FLAIR magnetic resonance.
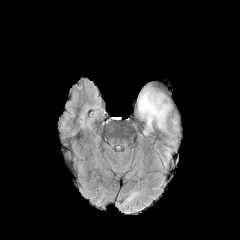
T1-weighted MR image.
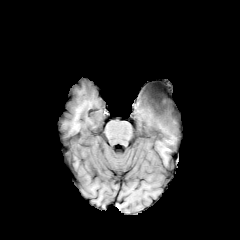
Post-contrast T1-weighted MR image.
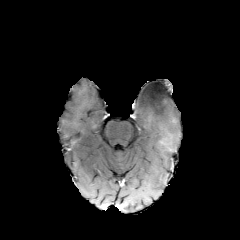
T2-weighted MR image.
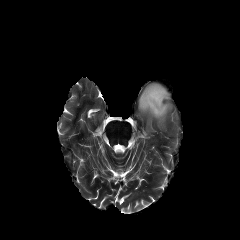
Axial slice
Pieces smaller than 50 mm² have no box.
<segmentation>
  <peritumoral_edema>138 85 171 134</peritumoral_edema>
  <necrotic_tumor_core>145 85 166 108</necrotic_tumor_core>
</segmentation>